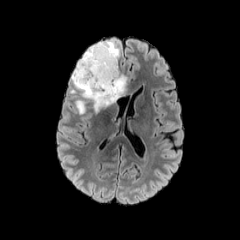
FLAIR MRI.
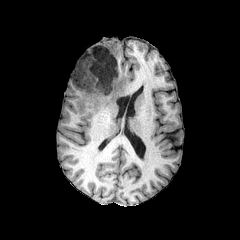
T1-weighted MR image.
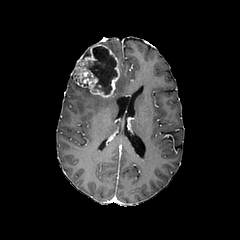
Post-contrast T1-weighted MR image.
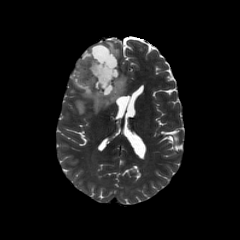
T2-weighted MRI.
Head, Axial view, 240x240
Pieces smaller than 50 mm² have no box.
peritumoral edema: x1=71 y1=68 x2=127 y2=114, x1=99 y1=41 x2=119 y2=58
necrotic tumor core: x1=84 y1=46 x2=117 y2=94
enhancing tumor: x1=74 y1=43 x2=119 y2=97